FLAIR MR image.
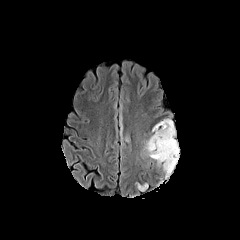
T1-weighted MRI.
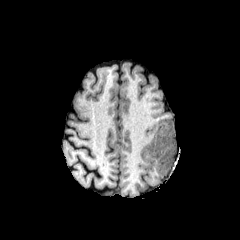
Post-contrast T1-weighted MR image.
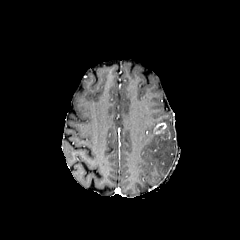
T2-weighted MRI.
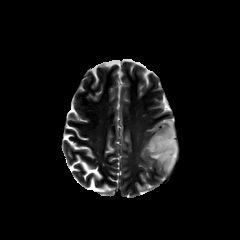
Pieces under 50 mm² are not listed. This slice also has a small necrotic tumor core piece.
enhancing tumor = l=154, t=122, r=166, b=134
peritumoral edema = l=135, t=182, r=149, b=192; l=120, t=108, r=130, b=143; l=144, t=118, r=178, b=178